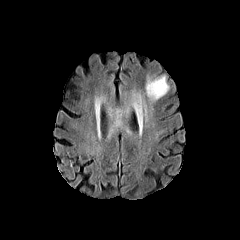
FLAIR MR image.
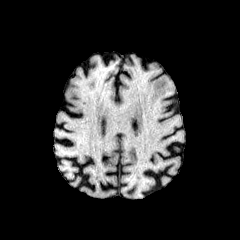
T1-weighted MR image.
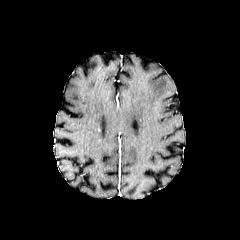
Post-contrast T1-weighted MR image.
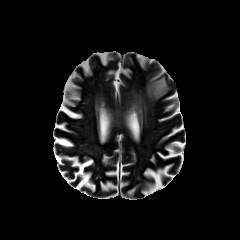
T2-weighted magnetic resonance.
Image size 240x240 | Head | Axial plane
peritumoral edema: 132, 94, 146, 118; 145, 76, 169, 101